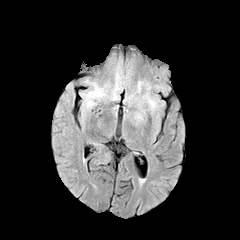
FLAIR MRI.
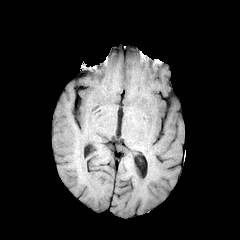
T1-weighted magnetic resonance.
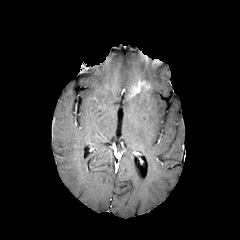
Post-contrast T1-weighted magnetic resonance of the same slice.
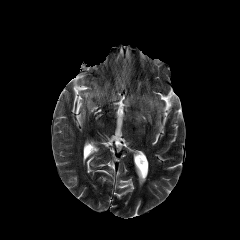
Same slice, T2-weighted MRI.
Axial plane | Head
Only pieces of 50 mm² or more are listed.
peritumoral edema: <bbox>85, 83, 109, 106</bbox>, <bbox>143, 94, 157, 110</bbox>, <bbox>111, 82, 119, 99</bbox>
enhancing tumor: <bbox>131, 81, 150, 95</bbox>